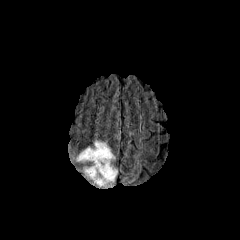
FLAIR MR image.
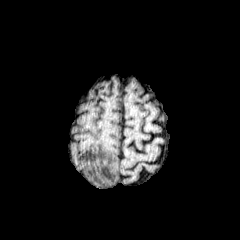
T1-weighted magnetic resonance of the same slice.
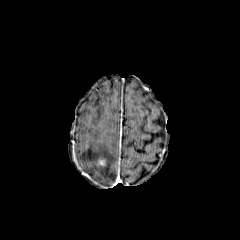
Post-contrast T1-weighted MR image of the same slice.
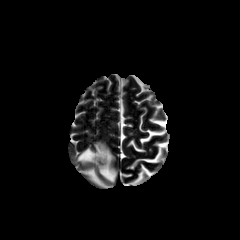
Same slice, T2-weighted MRI.
Head | Axial slice
The enhancing tumor lies within x1=97 y1=159 x2=105 y2=166. The peritumoral edema appears at x1=77 y1=141 x2=117 y2=186.